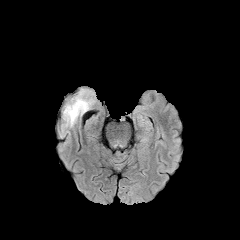
FLAIR MRI.
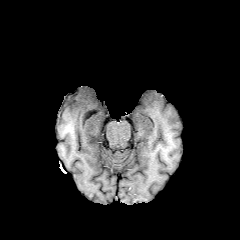
T1-weighted MR.
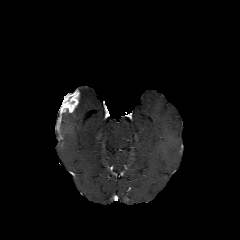
Post-contrast T1-weighted MR.
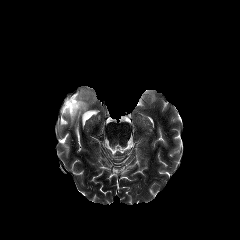
T2-weighted MRI.
Axial plane, Brain
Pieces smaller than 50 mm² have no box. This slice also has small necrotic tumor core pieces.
<segmentation>
  <peritumoral_edema>[61, 88, 96, 130]</peritumoral_edema>
  <enhancing_tumor>[60, 91, 79, 113]</enhancing_tumor>
</segmentation>